240x240 px. Axial slice.
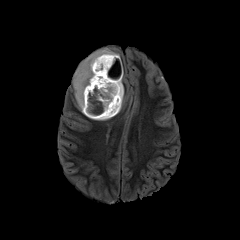
FLAIR magnetic resonance.
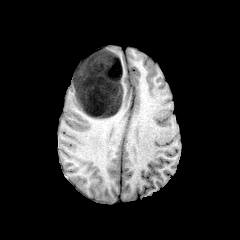
Same slice, T1-weighted MRI.
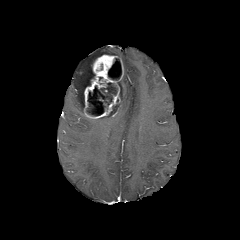
Same slice, post-contrast T1-weighted magnetic resonance.
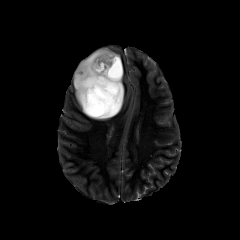
T2-weighted MRI.
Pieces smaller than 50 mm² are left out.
3 peritumoral edema regions are bounded by box=[92, 116, 112, 120]; box=[72, 47, 120, 113]; box=[117, 76, 124, 114]. The 3 largest necrotic tumor core regions are located at box=[108, 58, 121, 80]; box=[86, 82, 117, 115]; box=[108, 104, 121, 115]. The largest enhancing tumor region lies within box=[84, 54, 123, 118].